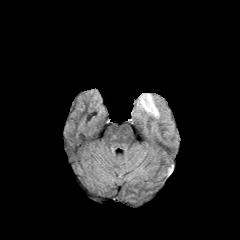
FLAIR MR.
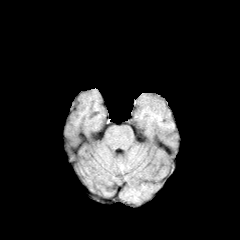
T1-weighted magnetic resonance.
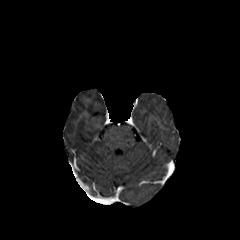
Post-contrast T1-weighted MR of the same slice.
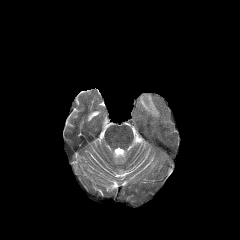
T2-weighted MRI of the same slice.
Brain.
{
  "peritumoral_edema": [
    "box=[140, 94, 159, 117]"
  ]
}